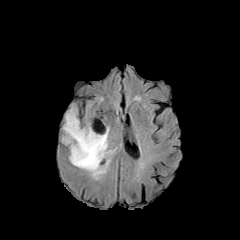
FLAIR MR.
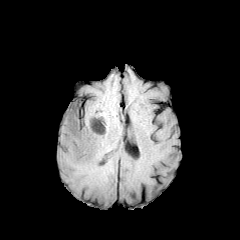
T1-weighted magnetic resonance of the same slice.
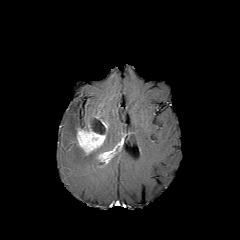
Post-contrast T1-weighted magnetic resonance.
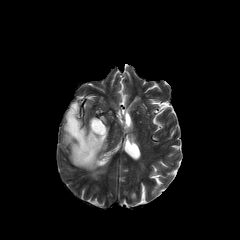
Same slice, T2-weighted magnetic resonance.
Head
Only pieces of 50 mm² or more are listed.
peritumoral edema: bounding box x1=62 y1=103 x2=111 y2=179
enhancing tumor: bounding box x1=98 y1=149 x2=115 y2=163, x1=77 y1=119 x2=105 y2=154
necrotic tumor core: bounding box x1=91 y1=118 x2=106 y2=134